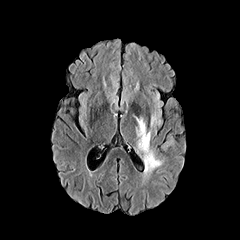
FLAIR MR.
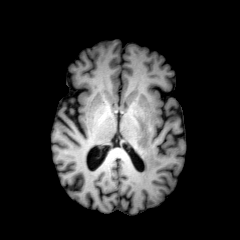
Same slice, T1-weighted magnetic resonance.
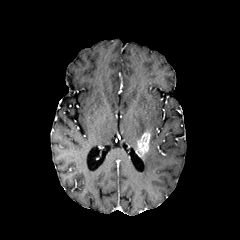
Post-contrast T1-weighted magnetic resonance.
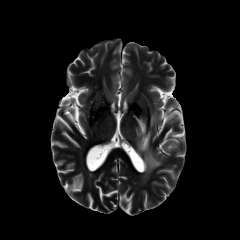
Same slice, T2-weighted MRI.
Image size 240x240 | Axial slice
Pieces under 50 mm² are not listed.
peritumoral edema: (left=132, top=114, right=146, bottom=138), (left=144, top=142, right=164, bottom=172), (left=161, top=135, right=173, bottom=151), (left=150, top=113, right=157, bottom=127) | enhancing tumor: (left=136, top=132, right=150, bottom=155)